Brain. Image width 240 mm, 1.00 mm slice spacing. Image size 240x240.
FLAIR MRI.
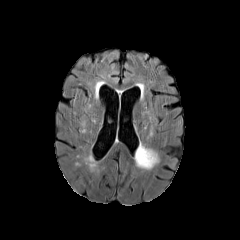
T1-weighted MRI.
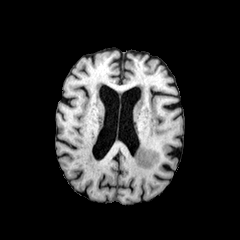
Post-contrast T1-weighted magnetic resonance.
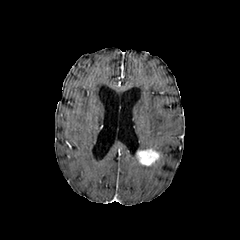
T2-weighted MR image.
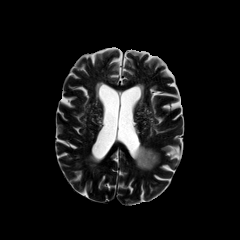
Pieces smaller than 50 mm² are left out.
- enhancing tumor: bbox(136, 149, 159, 165)
- peritumoral edema: bbox(137, 143, 151, 150); bbox(134, 154, 159, 170)